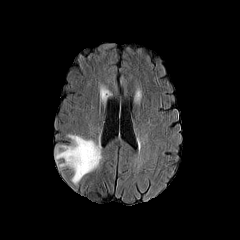
FLAIR MRI.
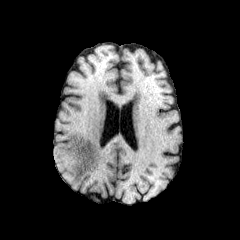
T1-weighted magnetic resonance.
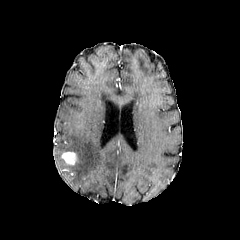
Post-contrast T1-weighted MR image of the same slice.
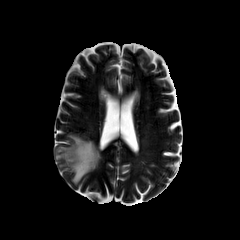
Same slice, T2-weighted MR image.
Axial slice. Brain.
peritumoral edema at 55:134:101:184
enhancing tumor at 61:152:77:165